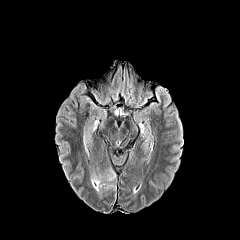
FLAIR magnetic resonance.
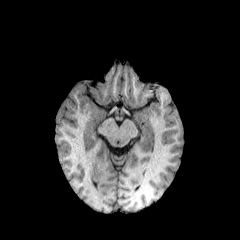
Same slice, T1-weighted MR image.
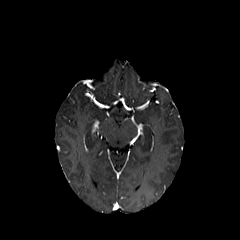
Post-contrast T1-weighted MR image.
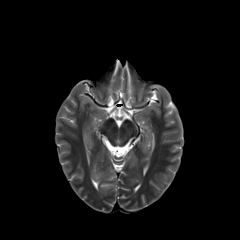
T2-weighted MRI.
Brain | Axial plane
The peritumoral edema is at 91,169,115,191.